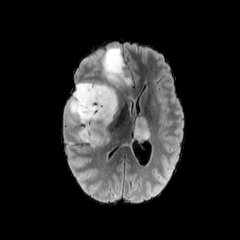
FLAIR magnetic resonance.
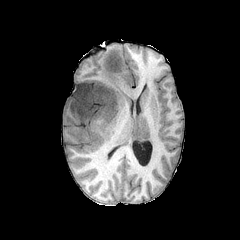
T1-weighted MR.
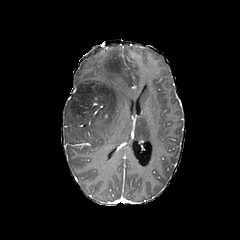
Post-contrast T1-weighted MR of the same slice.
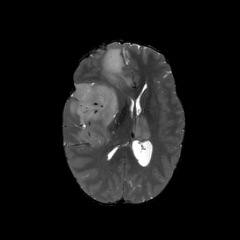
T2-weighted MR image.
Brain; 240x240 px
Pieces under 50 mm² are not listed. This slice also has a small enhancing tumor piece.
peritumoral edema — [130,116,150,141], [99,46,138,100], [64,80,119,151]